Head; Axial plane
FLAIR MRI.
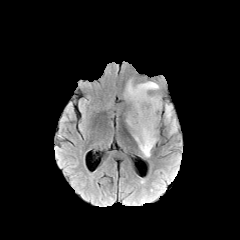
T1-weighted MR image.
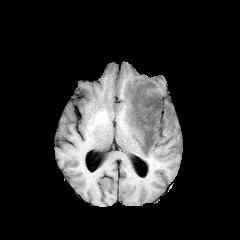
Post-contrast T1-weighted MR image.
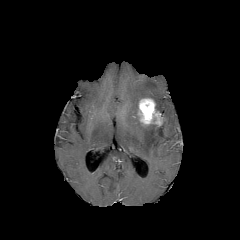
T2-weighted MR.
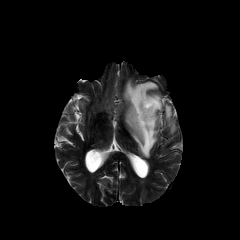
peritumoral edema: x1=124 y1=80 x2=162 y2=157, x1=165 y1=104 x2=176 y2=133 | enhancing tumor: x1=137 y1=98 x2=162 y2=125